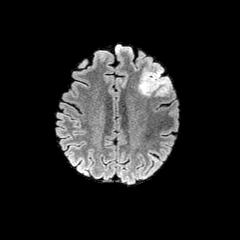
FLAIR MR.
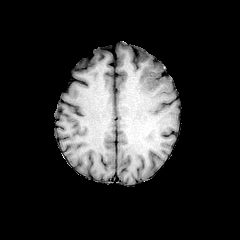
Same slice, T1-weighted MR.
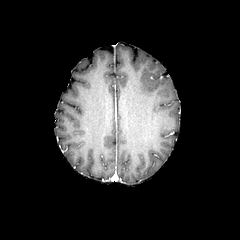
Post-contrast T1-weighted MR image.
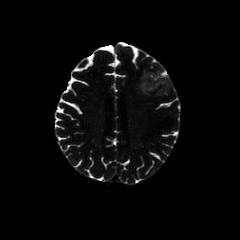
T2-weighted MR.
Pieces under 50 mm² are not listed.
Findings:
- peritumoral edema: l=138, t=68, r=171, b=96